FLAIR magnetic resonance.
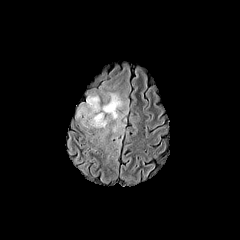
T1-weighted MR image.
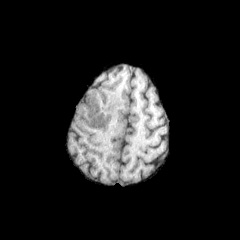
Post-contrast T1-weighted magnetic resonance.
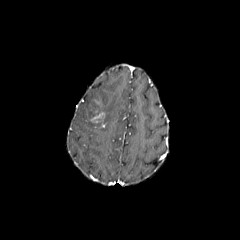
T2-weighted MR.
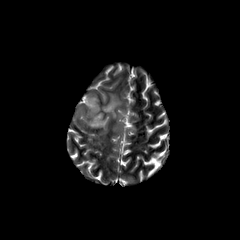
Head | Axial slice
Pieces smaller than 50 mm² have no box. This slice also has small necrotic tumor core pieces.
enhancing tumor = (left=90, top=110, right=106, bottom=127)
peritumoral edema = (left=76, top=93, right=124, bottom=134)